FLAIR MR.
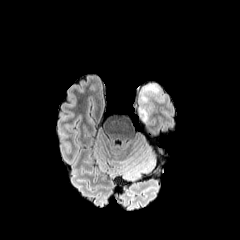
T1-weighted MR image.
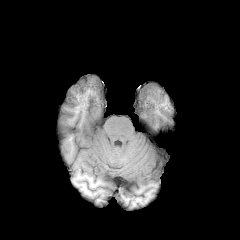
Post-contrast T1-weighted magnetic resonance.
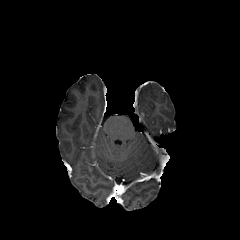
T2-weighted MR.
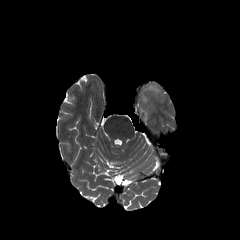
Head
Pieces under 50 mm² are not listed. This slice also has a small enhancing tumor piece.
peritumoral edema: bbox=[146, 86, 158, 92]; bbox=[138, 110, 147, 121]